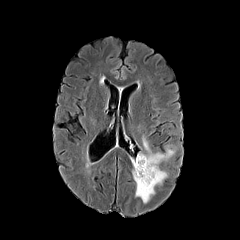
FLAIR MR image.
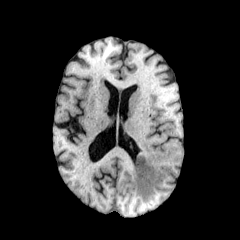
T1-weighted magnetic resonance.
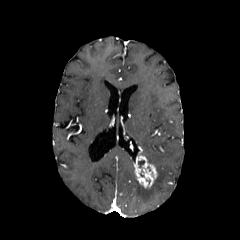
Post-contrast T1-weighted MR image of the same slice.
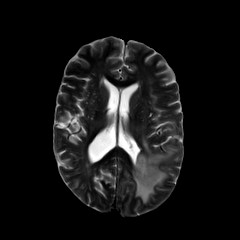
T2-weighted magnetic resonance.
Brain
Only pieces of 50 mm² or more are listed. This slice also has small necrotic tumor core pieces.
{"peritumoral_edema": ["left=132, top=136, right=174, bottom=203"], "enhancing_tumor": ["left=133, top=153, right=157, bottom=188"]}